Head. Slice 57/155.
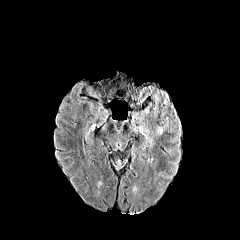
FLAIR magnetic resonance.
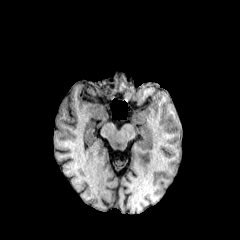
T1-weighted MRI.
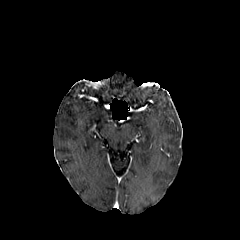
Post-contrast T1-weighted magnetic resonance of the same slice.
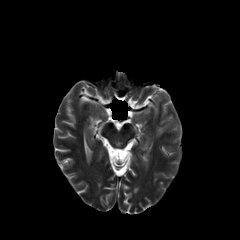
T2-weighted MR image.
peritumoral edema: (left=156, top=126, right=164, bottom=135)